FLAIR MR image.
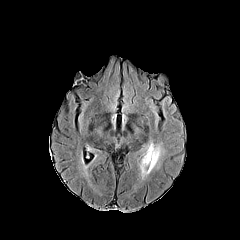
T1-weighted MR.
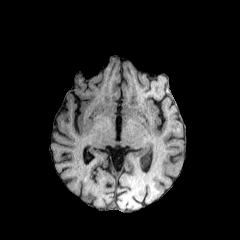
Post-contrast T1-weighted magnetic resonance.
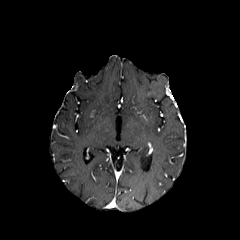
T2-weighted MR image.
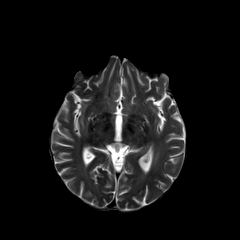
The peritumoral edema is bounded by <bbox>148, 147, 159, 172</bbox>.